Axial slice
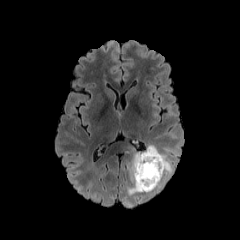
FLAIR MR.
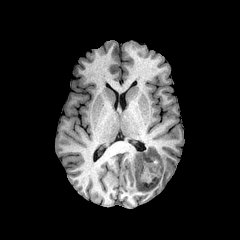
T1-weighted magnetic resonance.
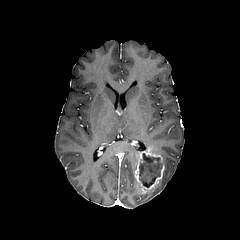
Post-contrast T1-weighted MR.
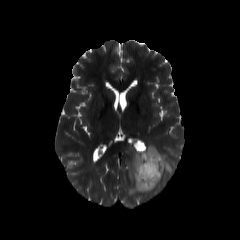
T2-weighted MR image.
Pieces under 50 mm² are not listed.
Segmented structures:
• enhancing tumor: left=134, top=148, right=165, bottom=190
• peritumoral edema: left=125, top=144, right=180, bottom=196
• necrotic tumor core: left=139, top=153, right=162, bottom=187